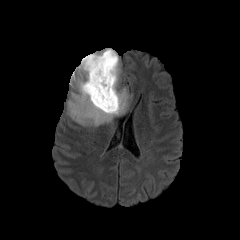
FLAIR MRI.
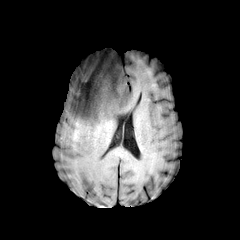
Same slice, T1-weighted MR.
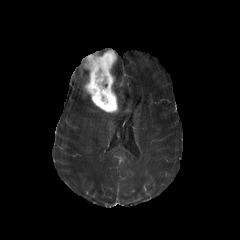
Post-contrast T1-weighted MR image of the same slice.
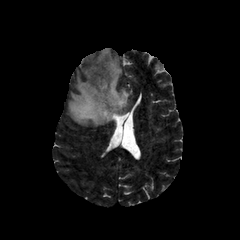
T2-weighted magnetic resonance.
240x240. Head. Axial slice.
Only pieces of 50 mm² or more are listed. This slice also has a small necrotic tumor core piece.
{
  "peritumoral_edema": [
    "bbox=[67, 54, 129, 126]"
  ],
  "enhancing_tumor": [
    "bbox=[82, 50, 118, 112]"
  ]
}